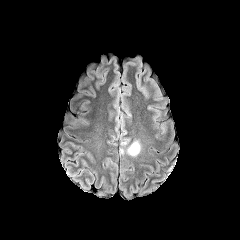
FLAIR MRI.
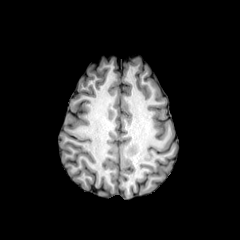
T1-weighted magnetic resonance.
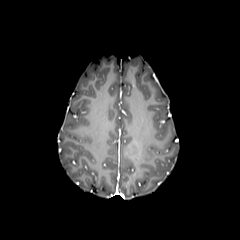
Same slice, post-contrast T1-weighted magnetic resonance.
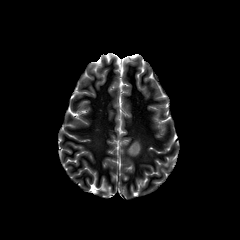
Same slice, T2-weighted MR.
Head | Image size 240x240
The peritumoral edema is at (120,138,142,156).